FLAIR MR.
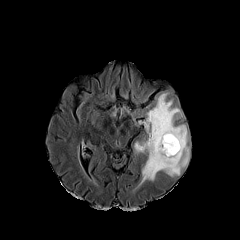
T1-weighted MRI.
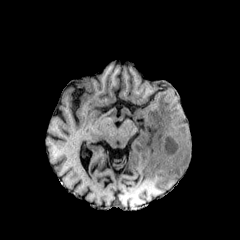
Post-contrast T1-weighted MR.
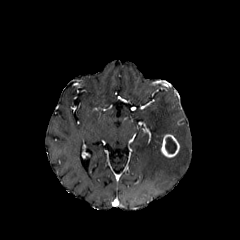
T2-weighted MR image.
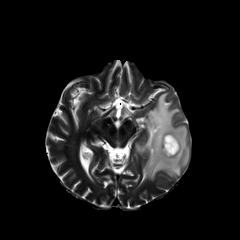
Head
{"peritumoral_edema": ["l=133, t=92, r=189, b=183"], "enhancing_tumor": ["l=161, t=134, r=179, b=157"], "necrotic_tumor_core": ["l=165, t=137, r=176, b=153"]}